FLAIR MR image.
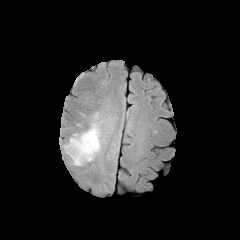
T1-weighted magnetic resonance.
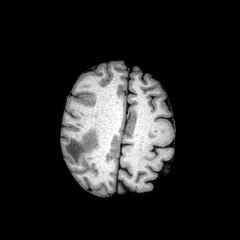
Post-contrast T1-weighted MR image.
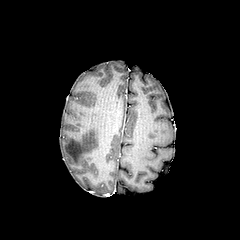
T2-weighted MR.
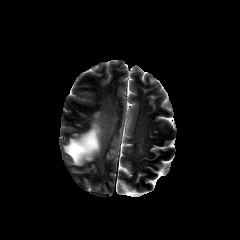
240x240
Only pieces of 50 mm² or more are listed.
The largest peritumoral edema region is located at 64, 123, 101, 165.